FLAIR MR image.
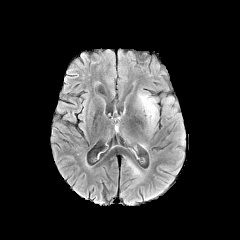
T1-weighted MR.
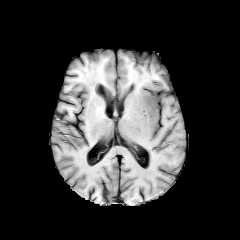
Post-contrast T1-weighted MRI.
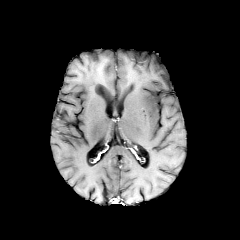
T2-weighted MR image.
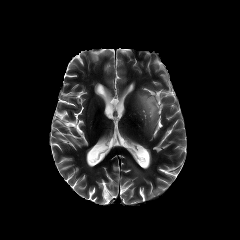
peritumoral edema: (x1=132, y1=90, x2=160, y2=135)